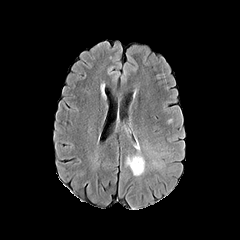
FLAIR MR image.
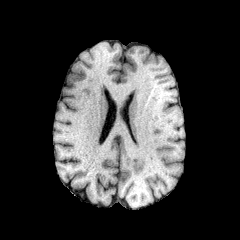
Same slice, T1-weighted MR image.
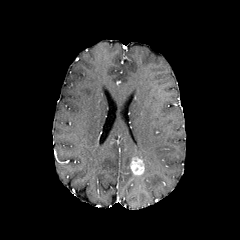
Same slice, post-contrast T1-weighted magnetic resonance.
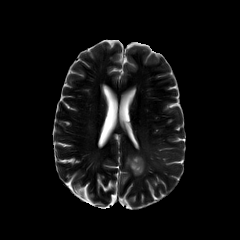
T2-weighted MRI.
Axial view; 240x240 px
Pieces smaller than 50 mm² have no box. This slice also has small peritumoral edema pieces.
<segmentation>
  <enhancing_tumor>box(130, 157, 144, 175)</enhancing_tumor>
</segmentation>